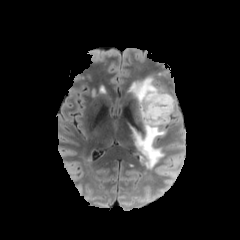
FLAIR MR image.
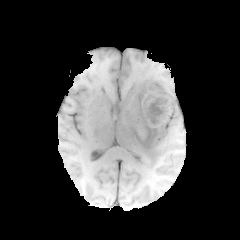
Same slice, T1-weighted MR.
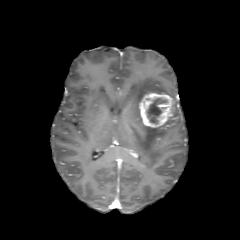
Same slice, post-contrast T1-weighted MR.
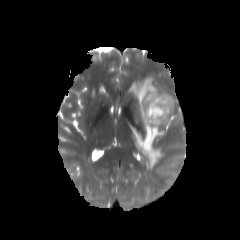
T2-weighted MRI.
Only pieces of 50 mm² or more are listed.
peritumoral edema = (left=132, top=125, right=165, bottom=168), (left=128, top=76, right=171, bottom=104)
enhancing tumor = (left=139, top=93, right=174, bottom=127)
necrotic tumor core = (left=147, top=98, right=167, bottom=123)